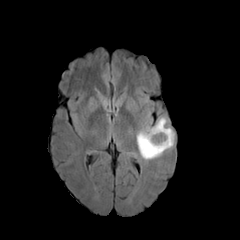
FLAIR MR.
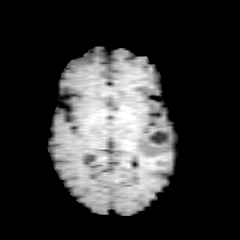
T1-weighted MRI.
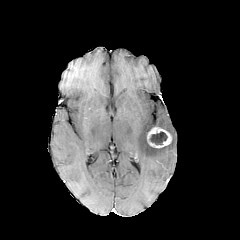
Post-contrast T1-weighted magnetic resonance of the same slice.
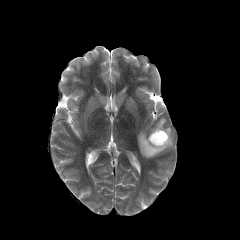
T2-weighted MRI.
Head
enhancing tumor: bounding box [147, 127, 171, 148]
necrotic tumor core: bounding box [149, 131, 167, 144]
peritumoral edema: bounding box [137, 117, 174, 159]